FLAIR magnetic resonance.
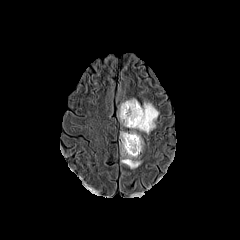
T1-weighted magnetic resonance.
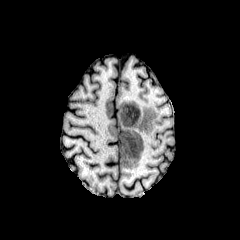
Post-contrast T1-weighted MRI.
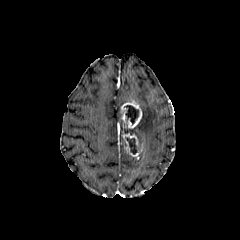
T2-weighted MRI.
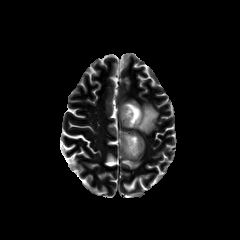
240x240 px
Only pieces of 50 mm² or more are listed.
peritumoral edema: bbox(121, 145, 140, 168); bbox(130, 102, 158, 142) | enhancing tumor: bbox(121, 132, 143, 157); bbox(120, 100, 142, 128) | necrotic tumor core: bbox(126, 105, 138, 124); bbox(126, 138, 137, 154)